FLAIR magnetic resonance.
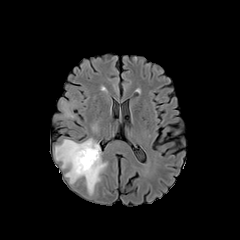
T1-weighted magnetic resonance.
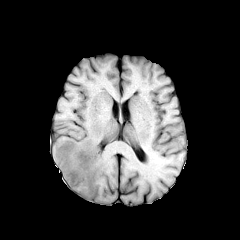
Post-contrast T1-weighted MR image.
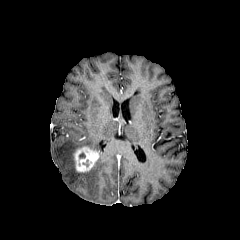
T2-weighted MR.
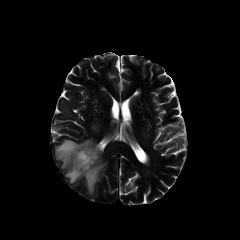
Image size 240x240
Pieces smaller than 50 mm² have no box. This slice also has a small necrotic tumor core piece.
peritumoral edema = <box>54,138,106,194</box>
enhancing tumor = <box>73,146,99,172</box>